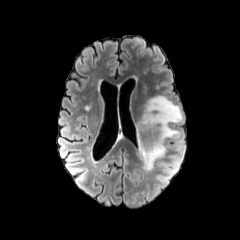
FLAIR MR image.
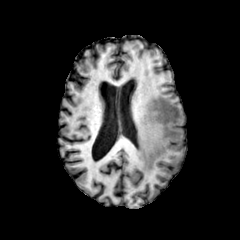
T1-weighted MRI of the same slice.
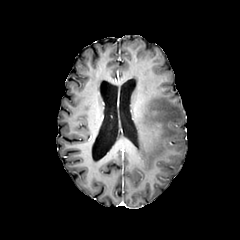
Same slice, post-contrast T1-weighted MRI.
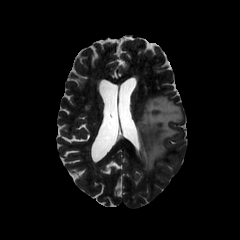
T2-weighted MR.
Brain.
<segmentation>
  <peritumoral_edema>(left=136, top=96, right=182, bottom=170)</peritumoral_edema>
</segmentation>